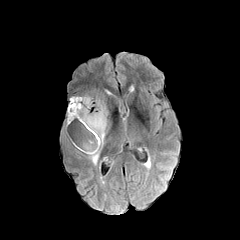
FLAIR MR image.
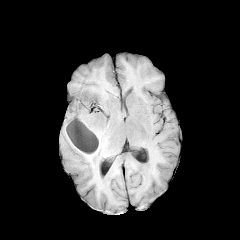
T1-weighted magnetic resonance.
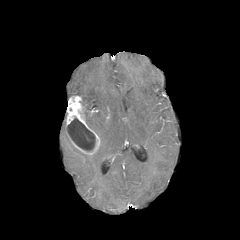
Post-contrast T1-weighted MR image.
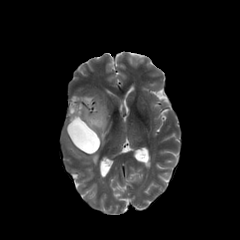
T2-weighted MRI of the same slice.
Image size 240x240
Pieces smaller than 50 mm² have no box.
necrotic tumor core: bounding box (left=67, top=118, right=95, bottom=151)
peritumoral edema: bounding box (left=82, top=95, right=107, bottom=163)
enhancing tumor: bounding box (left=66, top=96, right=100, bottom=154)